FLAIR MRI.
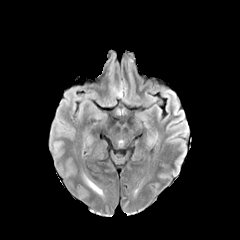
T1-weighted MR.
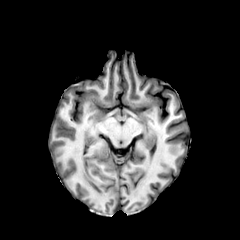
Post-contrast T1-weighted magnetic resonance.
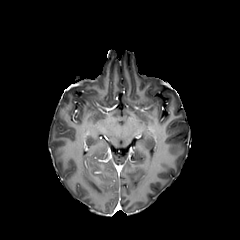
T2-weighted MR image.
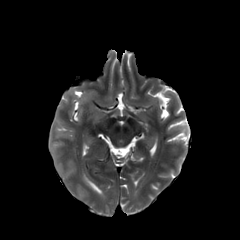
Axial slice. 240x240 px. Brain.
• peritumoral edema: x1=83 y1=174 x2=102 y2=194